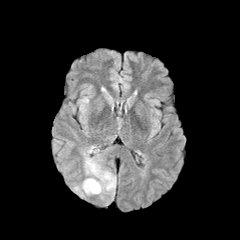
FLAIR magnetic resonance.
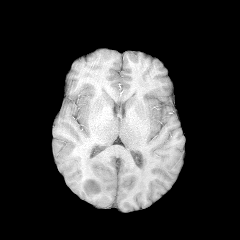
Same slice, T1-weighted magnetic resonance.
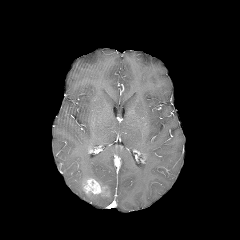
Same slice, post-contrast T1-weighted MRI.
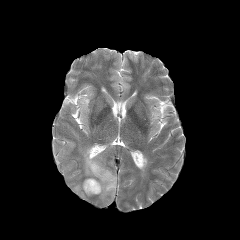
T2-weighted MR of the same slice.
Head, Axial slice
enhancing_tumor:
  - <box>83,178,107,194</box>
peritumoral_edema:
  - <box>73,146,116,204</box>